Axial plane; Brain
FLAIR MR image.
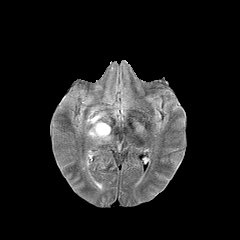
T1-weighted MR.
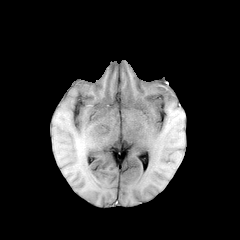
Post-contrast T1-weighted MR.
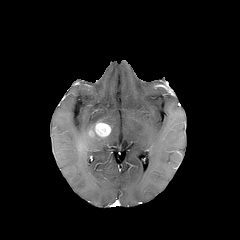
T2-weighted MR image.
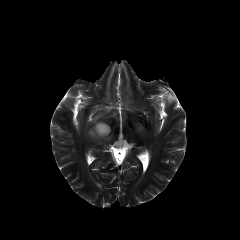
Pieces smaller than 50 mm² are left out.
The largest enhancing tumor region is located at 94, 122, 110, 137. The peritumoral edema lies within 87, 109, 110, 142.